240x240 px. Image width 240 mm. Axial plane.
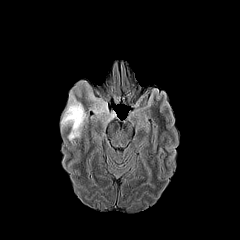
FLAIR MRI.
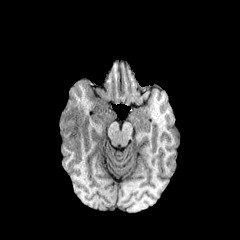
T1-weighted magnetic resonance.
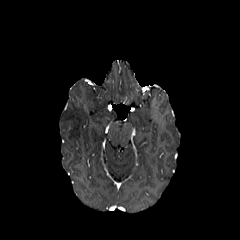
Same slice, post-contrast T1-weighted MRI.
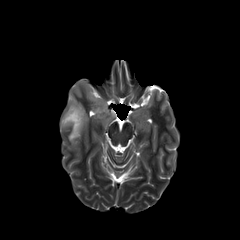
Same slice, T2-weighted MR.
2 peritumoral edema regions are bounded by <bbox>61, 91, 87, 144</bbox>, <bbox>89, 94, 112, 119</bbox>.